Image size 240x240; Axial view; Brain
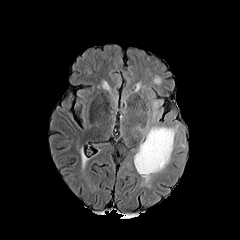
FLAIR magnetic resonance.
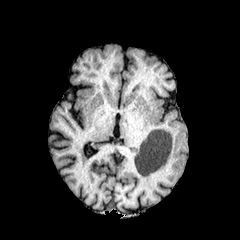
T1-weighted MR image.
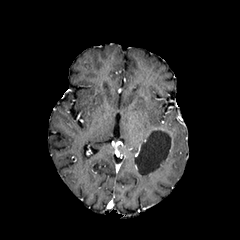
Post-contrast T1-weighted magnetic resonance.
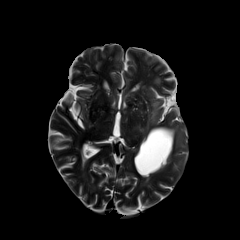
T2-weighted MR image.
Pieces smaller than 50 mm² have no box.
necrotic tumor core = box(135, 129, 171, 174)
enhancing tumor = box(155, 128, 172, 154)
peritumoral edema = box(139, 126, 177, 148); box(153, 101, 158, 120); box(137, 152, 171, 182)